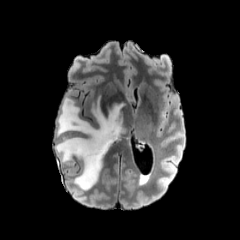
FLAIR MR.
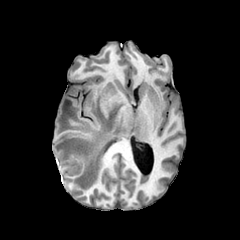
T1-weighted MRI of the same slice.
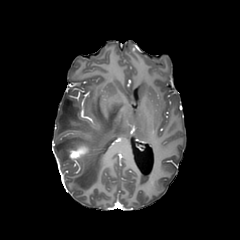
Same slice, post-contrast T1-weighted MR.
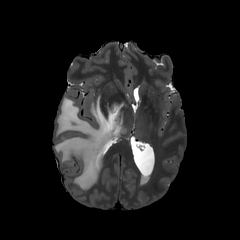
T2-weighted MRI of the same slice.
Brain | Image size 240x240
enhancing_tumor:
  - rect(69, 144, 88, 160)
peritumoral_edema:
  - rect(54, 95, 126, 190)